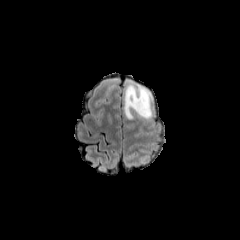
FLAIR magnetic resonance.
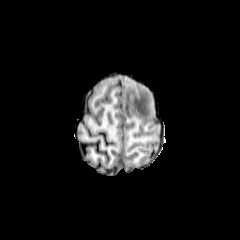
Same slice, T1-weighted MR.
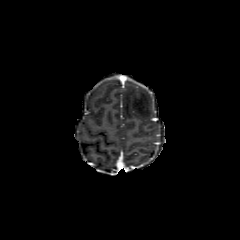
Post-contrast T1-weighted MR.
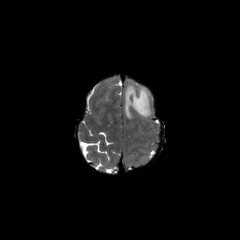
T2-weighted MRI.
Axial plane | Head
Segmented structures:
• peritumoral edema: (124, 83, 152, 119)